Head. Image width 240 mm.
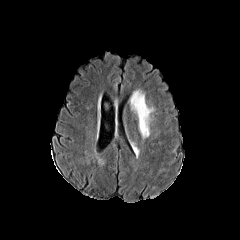
FLAIR MR.
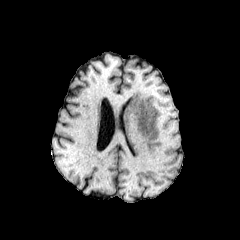
Same slice, T1-weighted MR.
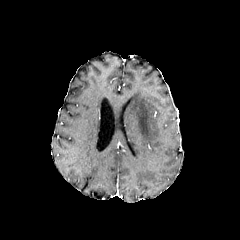
Post-contrast T1-weighted MR image.
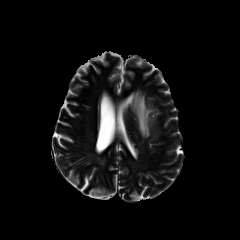
T2-weighted magnetic resonance of the same slice.
<segmentation>
  <peritumoral_edema>[130,90,153,138]</peritumoral_edema>
</segmentation>